Axial view. 240x240 px. Brain.
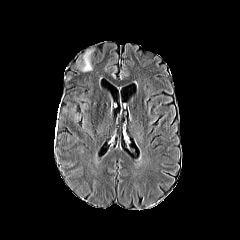
FLAIR MR.
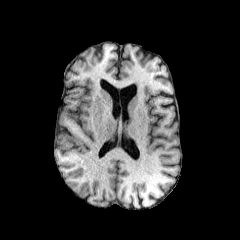
Same slice, T1-weighted MR image.
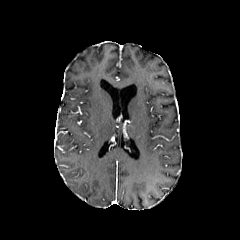
Same slice, post-contrast T1-weighted magnetic resonance.
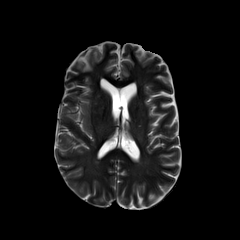
T2-weighted MRI.
- peritumoral edema: <bbox>73, 112, 81, 121</bbox>, <bbox>76, 47, 96, 71</bbox>